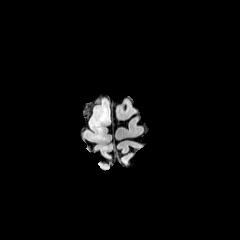
FLAIR MR image.
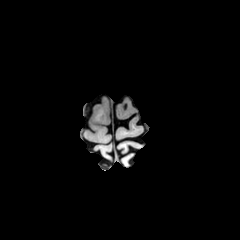
T1-weighted MR image of the same slice.
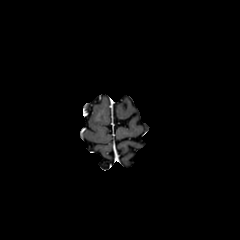
Post-contrast T1-weighted MRI.
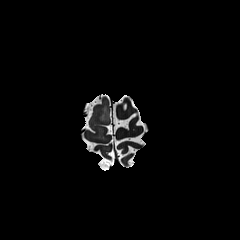
T2-weighted magnetic resonance of the same slice.
Image size 240x240. Brain.
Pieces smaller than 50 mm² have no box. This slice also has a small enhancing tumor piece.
{"peritumoral_edema": ["rect(91, 103, 109, 131)"]}